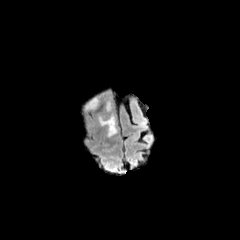
FLAIR MR.
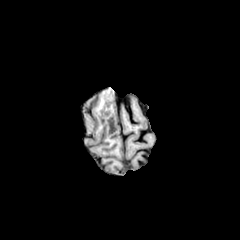
Same slice, T1-weighted MRI.
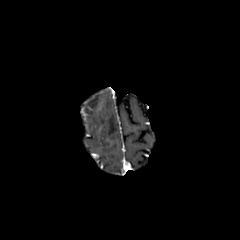
Post-contrast T1-weighted MR of the same slice.
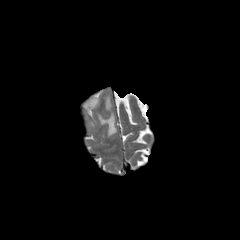
T2-weighted MR image of the same slice.
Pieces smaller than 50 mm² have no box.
peritumoral edema = [x1=99, y1=113, x2=116, y2=136], [x1=88, y1=98, x2=98, y2=108]